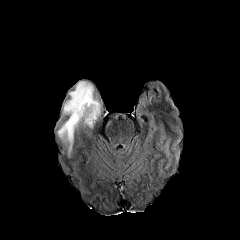
FLAIR MRI.
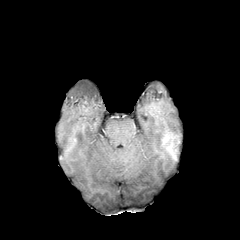
Same slice, T1-weighted MR.
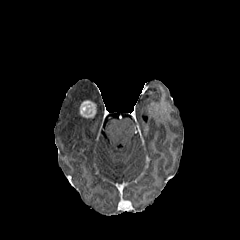
Post-contrast T1-weighted MR of the same slice.
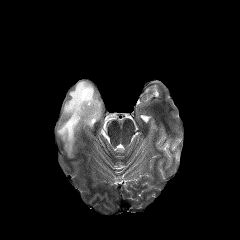
Same slice, T2-weighted magnetic resonance.
Head
enhancing tumor: l=79, t=100, r=96, b=118 | peritumoral edema: l=57, t=81, r=101, b=156